240x240 | Brain
FLAIR MRI.
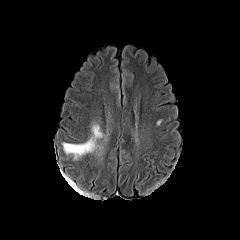
T1-weighted MR.
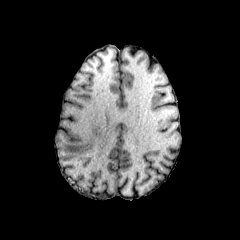
Post-contrast T1-weighted MRI.
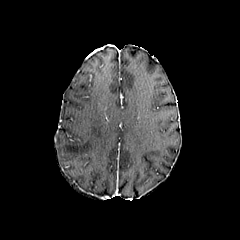
T2-weighted MR.
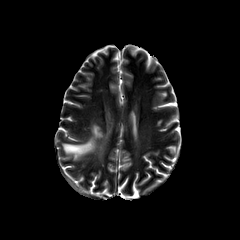
Annotated regions:
• peritumoral edema: x1=62, y1=123, x2=104, y2=159